240x240 | Head | Axial view
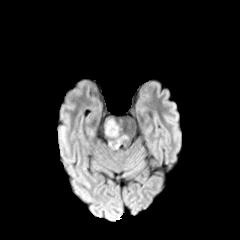
FLAIR MRI.
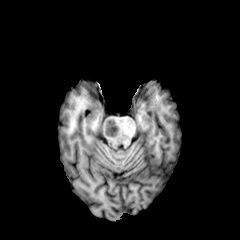
T1-weighted magnetic resonance.
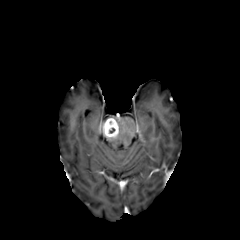
Same slice, post-contrast T1-weighted MRI.
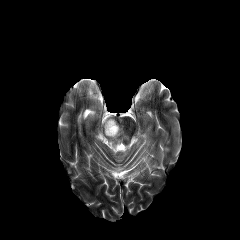
T2-weighted MRI.
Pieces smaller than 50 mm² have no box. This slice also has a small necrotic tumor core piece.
Segmented structures:
- enhancing tumor: x1=103 y1=118 x2=118 y2=138
- peritumoral edema: x1=113 y1=127 x2=121 y2=147